FLAIR magnetic resonance.
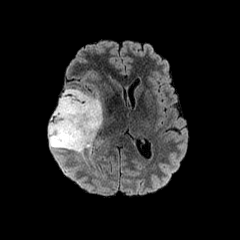
T1-weighted MR image.
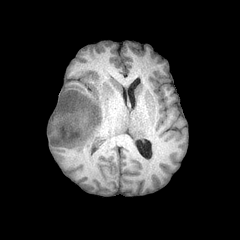
Post-contrast T1-weighted MR image.
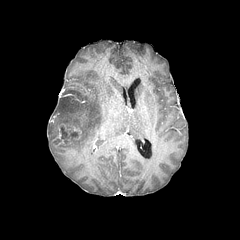
T2-weighted magnetic resonance.
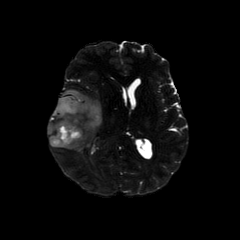
Axial plane
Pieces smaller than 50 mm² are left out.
peritumoral edema: rect(49, 88, 102, 153) | necrotic tumor core: rect(61, 128, 68, 138) | enhancing tumor: rect(53, 123, 81, 145)